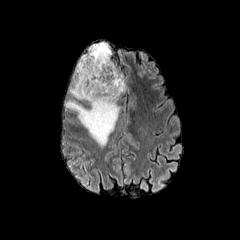
FLAIR MR.
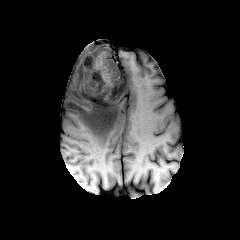
T1-weighted magnetic resonance of the same slice.
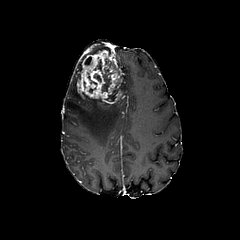
Post-contrast T1-weighted MR image of the same slice.
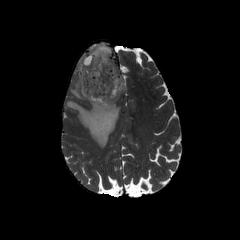
T2-weighted MRI.
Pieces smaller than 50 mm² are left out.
necrotic tumor core: bounding box l=105, t=84, r=118, b=101; l=101, t=68, r=113, b=92
enhancing tumor: bounding box l=76, t=49, r=122, b=106
peritumoral edema: bounding box l=121, t=74, r=126, b=93; l=65, t=42, r=120, b=147